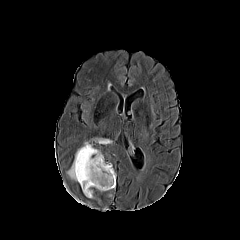
FLAIR MRI.
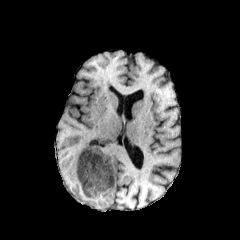
T1-weighted magnetic resonance.
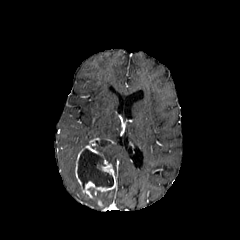
Post-contrast T1-weighted magnetic resonance.
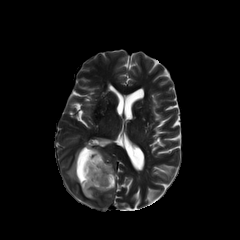
T2-weighted magnetic resonance of the same slice.
240x240
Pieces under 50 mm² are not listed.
necrotic tumor core: region(77, 149, 113, 188)
peritumoral edema: region(99, 139, 110, 144); region(67, 142, 89, 180)
enhancing tumor: region(75, 144, 115, 198)